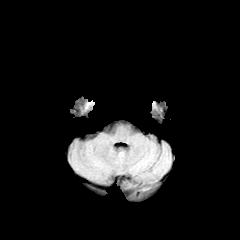
FLAIR magnetic resonance.
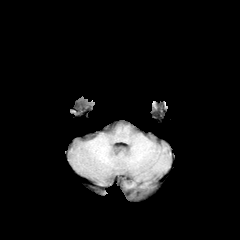
T1-weighted MR.
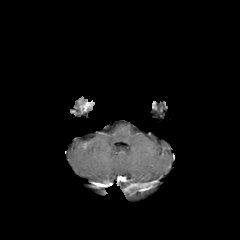
Same slice, post-contrast T1-weighted MRI.
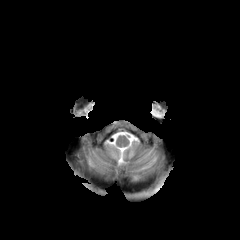
T2-weighted MR.
Head
Findings:
- enhancing tumor: 80 101 94 112